Brain.
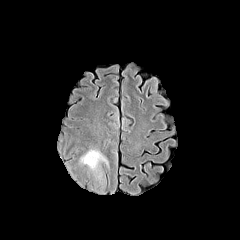
FLAIR MR image.
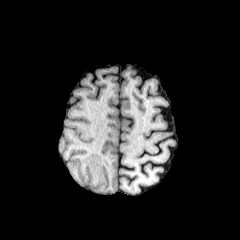
T1-weighted MRI of the same slice.
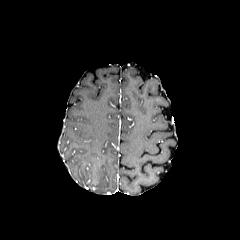
Post-contrast T1-weighted MR image.
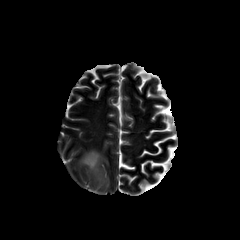
T2-weighted magnetic resonance of the same slice.
Findings:
• peritumoral edema: [80,148,110,171]